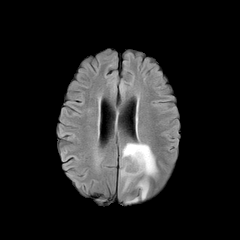
FLAIR magnetic resonance.
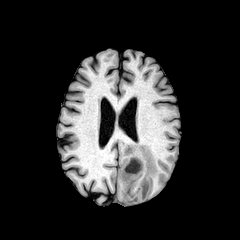
Same slice, T1-weighted MR image.
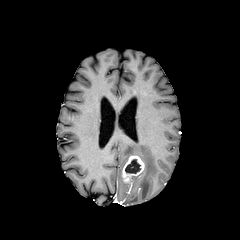
Post-contrast T1-weighted MR image of the same slice.
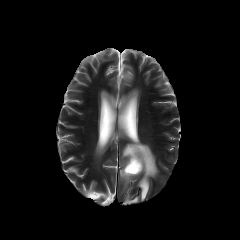
T2-weighted MRI.
Axial slice | Image size 240x240 | Head
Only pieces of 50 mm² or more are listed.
enhancing tumor = [122, 155, 144, 184]
peritumoral edema = [122, 143, 157, 199]
necrotic tumor core = [125, 159, 140, 173]